FLAIR MRI.
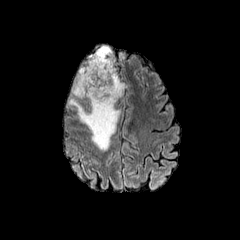
T1-weighted MRI.
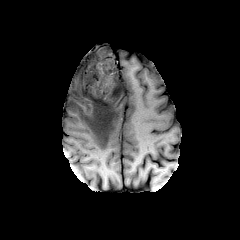
Post-contrast T1-weighted MR image.
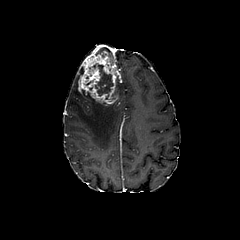
T2-weighted MR.
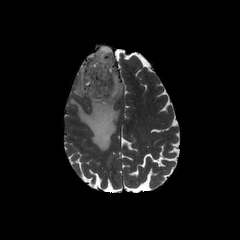
Axial slice; Brain
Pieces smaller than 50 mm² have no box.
enhancing_tumor:
  - (left=78, top=50, right=119, bottom=105)
peritumoral_edema:
  - (left=117, top=79, right=124, bottom=97)
  - (left=68, top=80, right=120, bottom=150)
  - (left=95, top=45, right=109, bottom=55)
necrotic_tumor_core:
  - (left=95, top=64, right=113, bottom=99)